Slice index 123
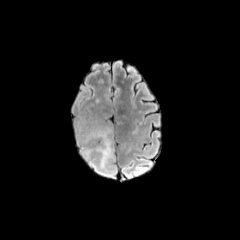
FLAIR MR image.
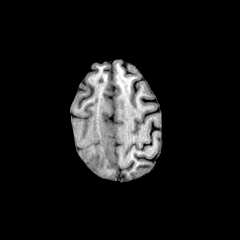
T1-weighted magnetic resonance.
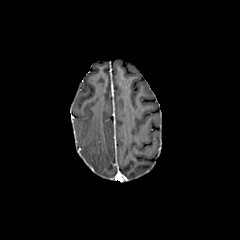
Post-contrast T1-weighted MR image.
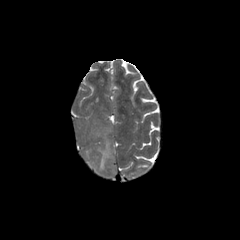
T2-weighted magnetic resonance of the same slice.
peritumoral edema at (left=84, top=127, right=114, bottom=175)